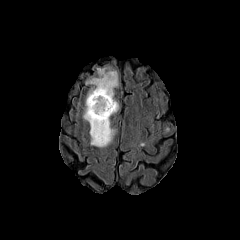
FLAIR magnetic resonance.
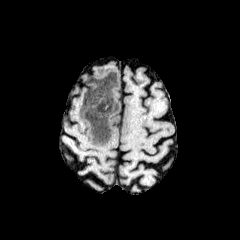
T1-weighted MR image of the same slice.
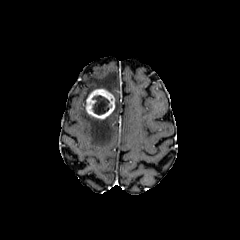
Post-contrast T1-weighted magnetic resonance.
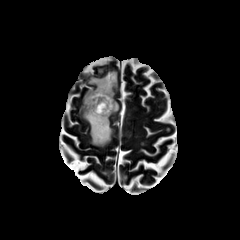
T2-weighted MR image.
Axial slice | Brain
enhancing tumor = left=85, top=88, right=114, bottom=119
peritumoral edema = left=85, top=68, right=118, bottom=104; left=83, top=100, right=118, bottom=147
necrotic tumor core = left=92, top=95, right=109, bottom=114